Axial view, Brain, Slice 65/155
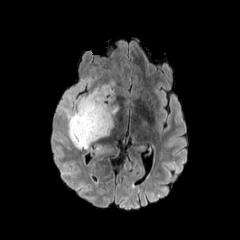
FLAIR MRI.
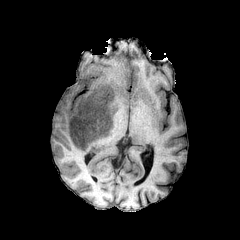
Same slice, T1-weighted MR.
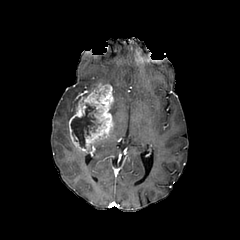
Post-contrast T1-weighted MR.
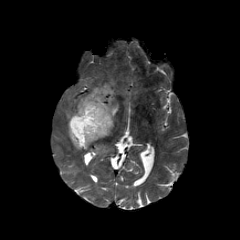
T2-weighted MR.
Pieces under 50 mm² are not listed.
• peritumoral edema: <bbox>54, 79, 95, 135</bbox>, <bbox>110, 103, 118, 120</bbox>
• enhancing tumor: <bbox>68, 83, 114, 151</bbox>
• necrotic tumor core: <bbox>71, 104, 96, 147</bbox>